Axial slice. 240x240.
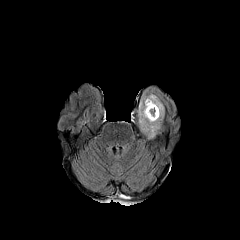
FLAIR MRI.
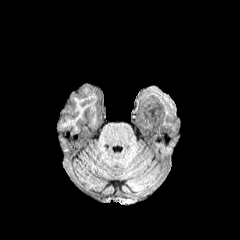
Same slice, T1-weighted magnetic resonance.
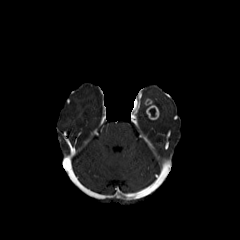
Post-contrast T1-weighted magnetic resonance of the same slice.
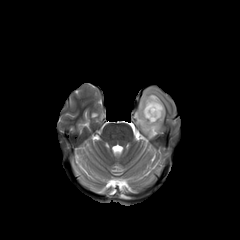
T2-weighted MR of the same slice.
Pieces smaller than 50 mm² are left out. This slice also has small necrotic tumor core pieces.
Segmented structures:
- peritumoral edema: {"x1": 138, "y1": 88, "x2": 164, "y2": 138}
- enhancing tumor: {"x1": 144, "y1": 98, "x2": 159, "y2": 120}